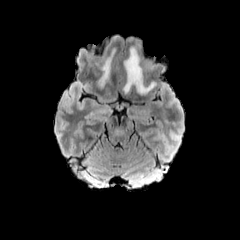
FLAIR magnetic resonance.
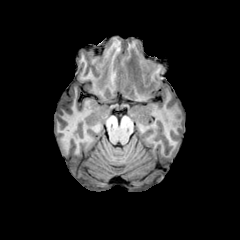
Same slice, T1-weighted magnetic resonance.
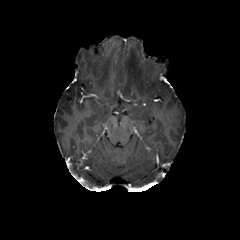
Same slice, post-contrast T1-weighted MR.
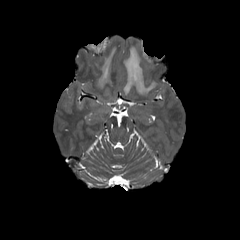
T2-weighted MRI of the same slice.
240x240
peritumoral edema: bounding box <box>123,47,156,94</box>, <box>98,49,114,87</box>